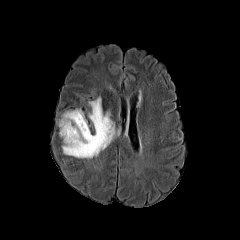
FLAIR MR image.
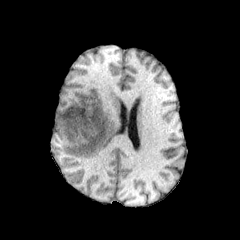
T1-weighted magnetic resonance.
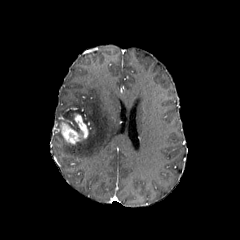
Post-contrast T1-weighted MR of the same slice.
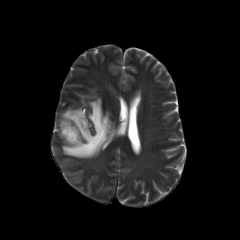
T2-weighted magnetic resonance of the same slice.
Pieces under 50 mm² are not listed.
The necrotic tumor core appears at [67, 121, 79, 131]. The 2 largest peritumoral edema regions appear at [62, 109, 87, 126], [62, 97, 117, 158]. The enhancing tumor is located at [60, 113, 88, 144].